Slice index 73
FLAIR magnetic resonance.
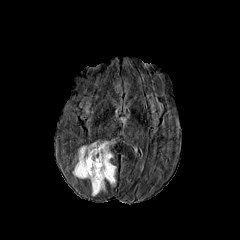
T1-weighted magnetic resonance.
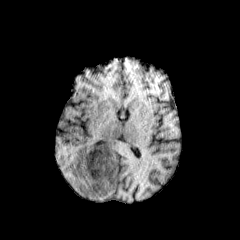
Post-contrast T1-weighted MR image.
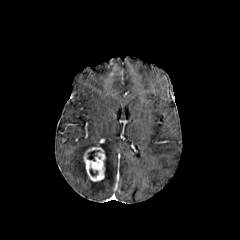
T2-weighted MRI.
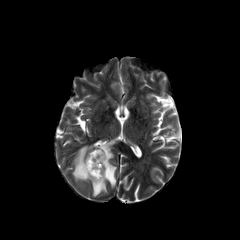
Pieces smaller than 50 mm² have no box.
The peritumoral edema appears at region(72, 140, 116, 195). The enhancing tumor is bounded by region(83, 146, 105, 181). The largest necrotic tumor core region appears at region(87, 150, 99, 160).